Image covers 240 mm x 240 mm. Slice 70 of 155. 240x240. Head. Axial plane.
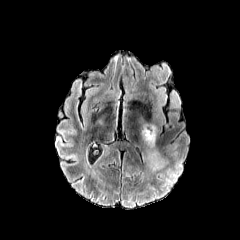
FLAIR MRI.
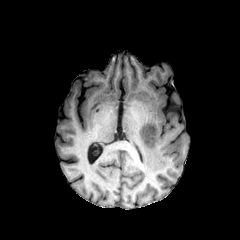
Same slice, T1-weighted MR image.
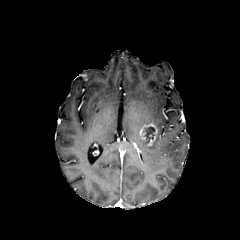
Same slice, post-contrast T1-weighted MR.
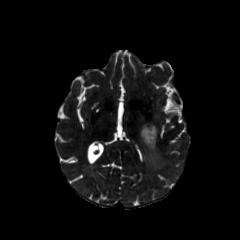
T2-weighted MR image.
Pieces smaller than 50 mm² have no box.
Findings:
• peritumoral edema: [148, 153, 159, 169]
• necrotic tumor core: [145, 127, 154, 141]
• enhancing tumor: [139, 123, 157, 147]